Axial plane | Head | 240x240 px
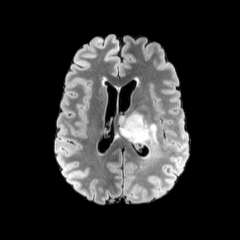
FLAIR magnetic resonance.
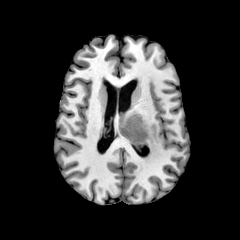
T1-weighted MRI.
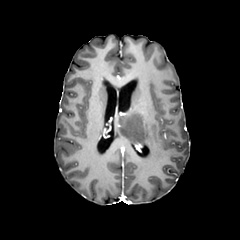
Post-contrast T1-weighted MR image of the same slice.
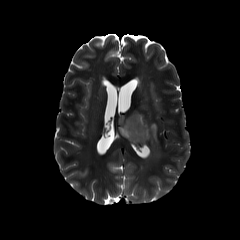
T2-weighted magnetic resonance of the same slice.
peritumoral_edema:
  - [119, 112, 161, 159]